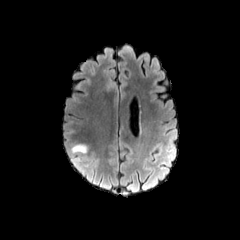
FLAIR MR image.
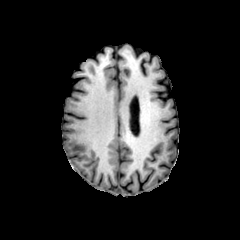
T1-weighted MR of the same slice.
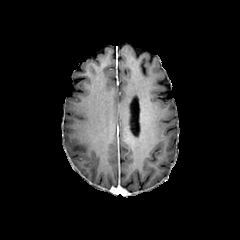
Post-contrast T1-weighted magnetic resonance of the same slice.
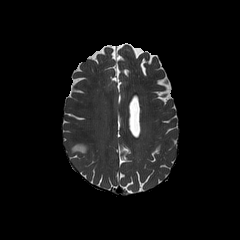
T2-weighted MRI.
Brain
The peritumoral edema is at 70:144:87:153.